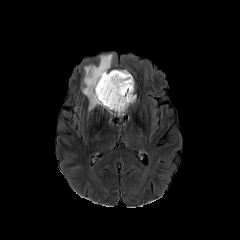
FLAIR magnetic resonance.
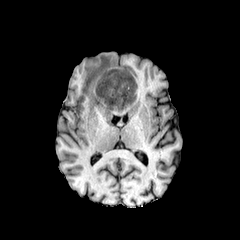
T1-weighted MRI.
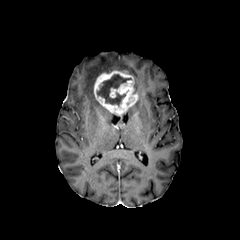
Post-contrast T1-weighted MR.
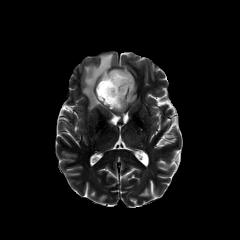
T2-weighted MRI of the same slice.
Brain.
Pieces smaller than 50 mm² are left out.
<segmentation>
  <enhancing_tumor>rect(94, 70, 137, 115)</enhancing_tumor>
  <peritumoral_edema>rect(82, 54, 113, 110)</peritumoral_edema>
  <necrotic_tumor_core>rect(97, 74, 130, 105)</necrotic_tumor_core>
</segmentation>